FLAIR MR image.
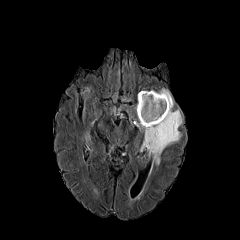
T1-weighted MR image.
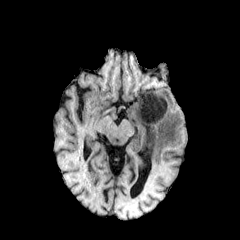
Post-contrast T1-weighted MR image.
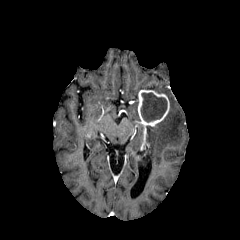
T2-weighted magnetic resonance.
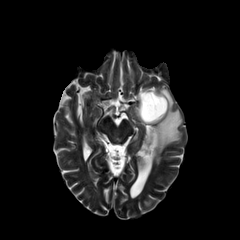
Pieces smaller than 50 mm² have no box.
The largest peritumoral edema region is bounded by region(134, 88, 182, 166). The enhancing tumor is bounded by region(137, 90, 169, 126). The necrotic tumor core appears at region(141, 93, 166, 121).